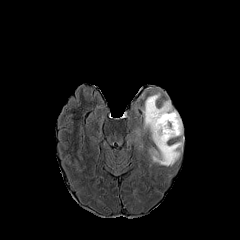
FLAIR MRI.
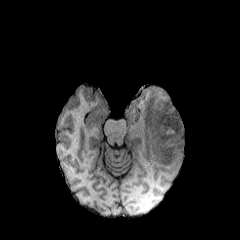
T1-weighted MRI.
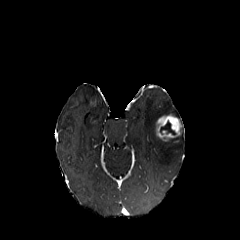
Post-contrast T1-weighted MR image of the same slice.
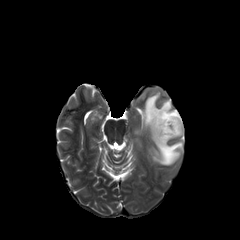
Same slice, T2-weighted MR.
Image size 240x240; Axial slice; Brain
- necrotic tumor core: x1=160, y1=121, x2=175, y2=134
- peritumoral edema: x1=142, y1=92, x2=183, y2=165
- enhancing tumor: x1=156, y1=114, x2=182, y2=141